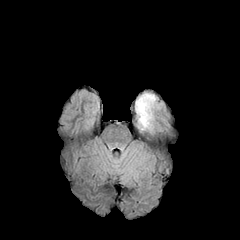
FLAIR MR.
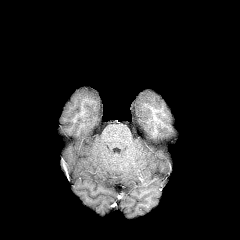
T1-weighted magnetic resonance of the same slice.
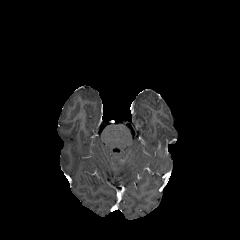
Same slice, post-contrast T1-weighted MR.
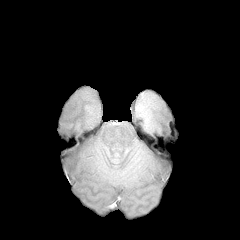
T2-weighted MR of the same slice.
Image size 240x240
{
  "peritumoral_edema": [
    "(left=135, top=92, right=159, bottom=131)"
  ]
}